Axial plane, Head, Slice 104 of 155
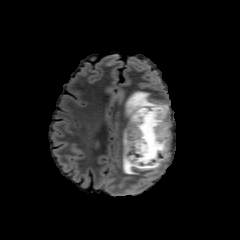
FLAIR magnetic resonance.
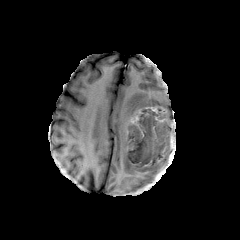
T1-weighted magnetic resonance of the same slice.
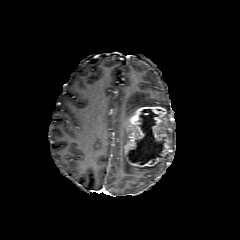
Post-contrast T1-weighted MR image of the same slice.
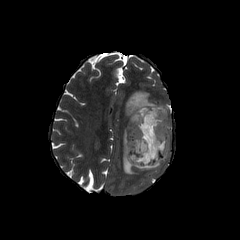
T2-weighted magnetic resonance.
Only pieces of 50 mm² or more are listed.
necrotic tumor core: [126, 109, 165, 164]
enhancing tumor: [124, 106, 172, 167]
peritumoral edema: [125, 91, 169, 120], [122, 129, 162, 176]